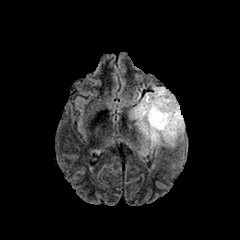
FLAIR magnetic resonance.
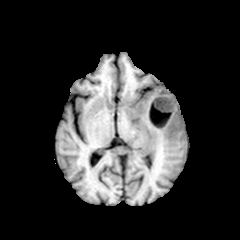
Same slice, T1-weighted MR image.
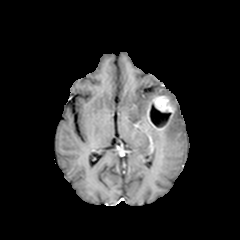
Same slice, post-contrast T1-weighted MR image.
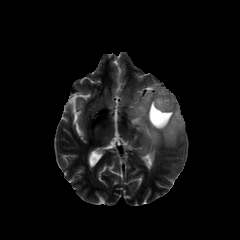
Same slice, T2-weighted MR image.
Brain. Axial slice.
{"necrotic_tumor_core": ["bbox=[149, 103, 171, 127]"], "peritumoral_edema": ["bbox=[129, 85, 184, 156]"], "enhancing_tumor": ["bbox=[147, 95, 174, 130]"]}